FLAIR MR.
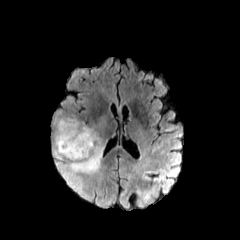
T1-weighted magnetic resonance.
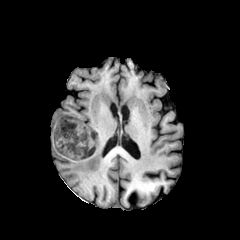
Post-contrast T1-weighted MR.
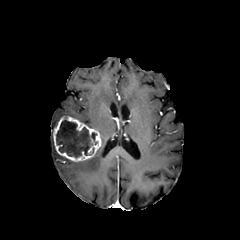
T2-weighted MRI.
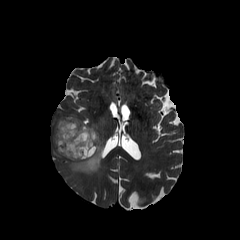
Brain, Axial plane
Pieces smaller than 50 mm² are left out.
necrotic tumor core: (56, 119, 97, 157)
enhancing tumor: (53, 116, 101, 161)
peritumoral edema: (52, 110, 77, 130), (52, 115, 106, 201)